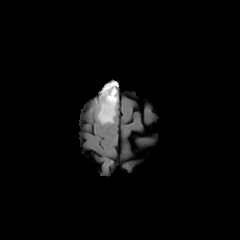
FLAIR MR.
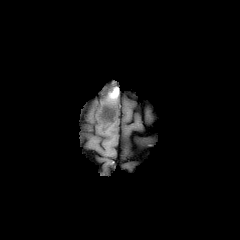
T1-weighted magnetic resonance.
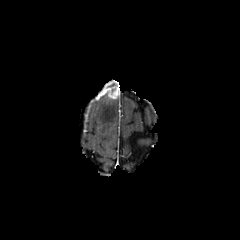
Post-contrast T1-weighted MR image.
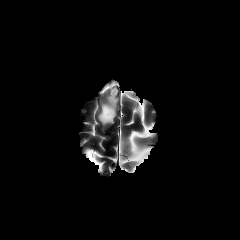
T2-weighted magnetic resonance of the same slice.
Head | Axial slice
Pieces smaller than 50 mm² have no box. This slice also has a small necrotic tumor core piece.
The enhancing tumor lies within (left=100, top=81, right=118, bottom=99). The peritumoral edema appears at (left=97, top=96, right=117, bottom=124).